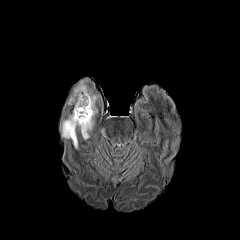
FLAIR magnetic resonance.
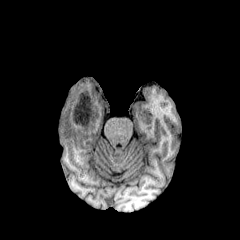
T1-weighted magnetic resonance.
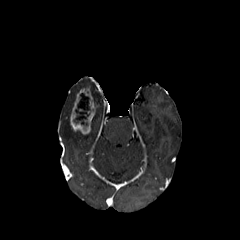
Post-contrast T1-weighted MR image.
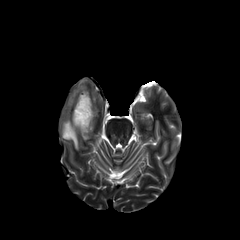
T2-weighted MR image.
Axial slice, Image size 240x240
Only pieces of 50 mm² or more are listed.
enhancing tumor: bounding box {"x1": 70, "y1": 88, "x2": 96, "y2": 134}
necrotic tumor core: bounding box {"x1": 73, "y1": 93, "x2": 90, "y2": 125}
peritumoral edema: bounding box {"x1": 61, "y1": 117, "x2": 78, "y2": 148}, {"x1": 67, "y1": 78, "x2": 89, "y2": 105}, {"x1": 90, "y1": 89, "x2": 100, "y2": 105}